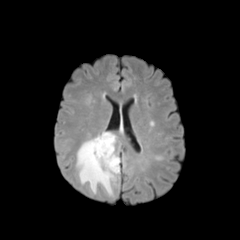
FLAIR MR.
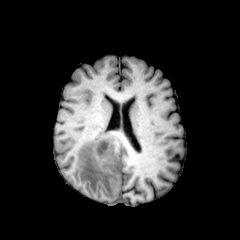
T1-weighted magnetic resonance of the same slice.
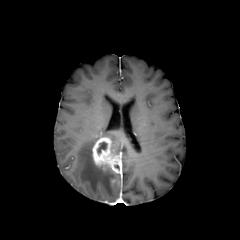
Post-contrast T1-weighted magnetic resonance.
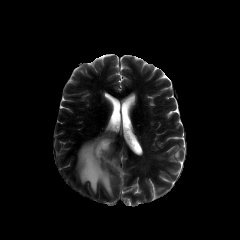
T2-weighted MR.
Head
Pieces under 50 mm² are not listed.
{"enhancing_tumor": ["l=92, t=137, r=121, b=173"], "necrotic_tumor_core": ["l=97, t=142, r=107, b=153"], "peritumoral_edema": ["l=76, t=132, r=118, b=196"]}